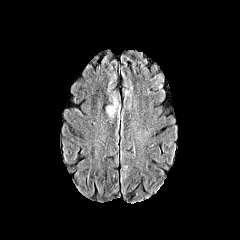
FLAIR MRI.
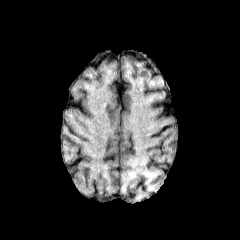
T1-weighted MR image.
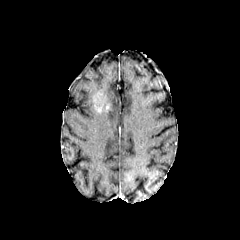
Post-contrast T1-weighted MR of the same slice.
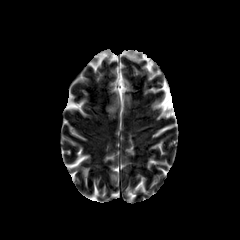
T2-weighted MRI of the same slice.
Head
peritumoral edema at 106, 100, 117, 118